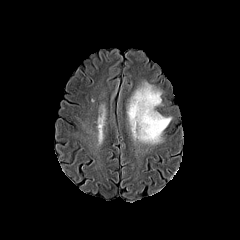
FLAIR magnetic resonance.
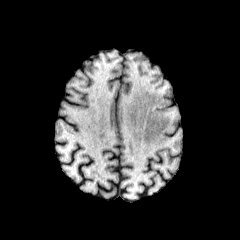
T1-weighted MR image.
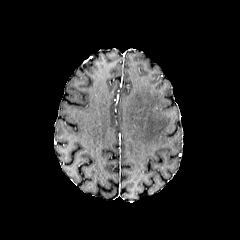
Post-contrast T1-weighted MRI.
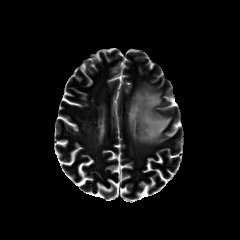
Same slice, T2-weighted MR image.
Head
The peritumoral edema is located at <bbox>127, 82, 171, 144</bbox>.